FLAIR magnetic resonance.
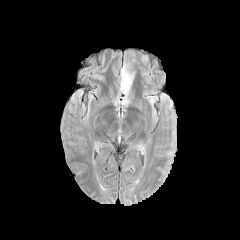
T1-weighted MRI.
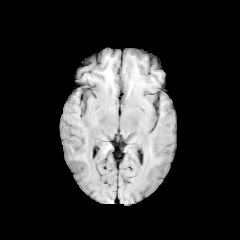
Post-contrast T1-weighted MR.
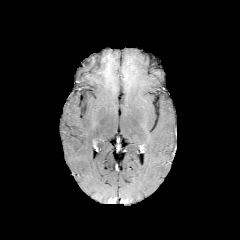
T2-weighted MR.
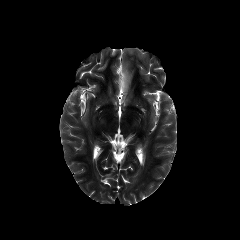
240x240 | Axial view
peritumoral edema: (120,65,133,93)